Brain | Slice index 73
FLAIR MR.
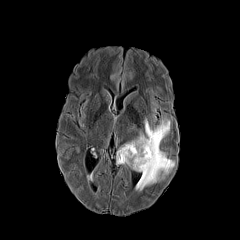
T1-weighted magnetic resonance.
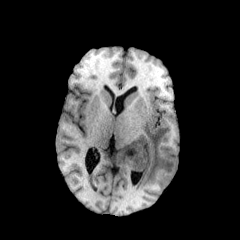
Post-contrast T1-weighted MRI.
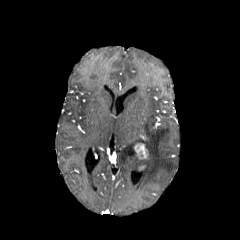
T2-weighted magnetic resonance.
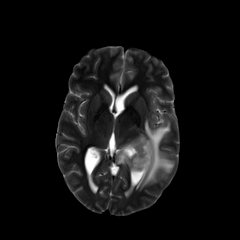
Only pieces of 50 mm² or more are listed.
peritumoral_edema:
  - [117, 119, 174, 190]
enhancing_tumor:
  - [134, 143, 148, 159]